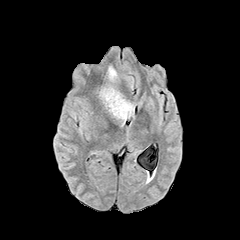
FLAIR MRI.
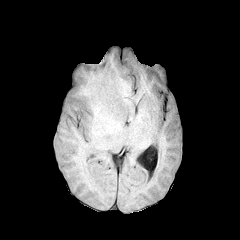
Same slice, T1-weighted MR image.
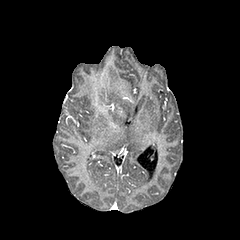
Post-contrast T1-weighted magnetic resonance.
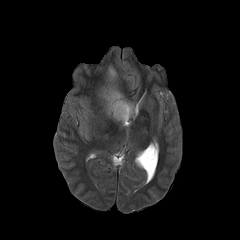
Same slice, T2-weighted MRI.
Image size 240x240
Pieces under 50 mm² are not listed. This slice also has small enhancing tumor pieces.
{"peritumoral_edema": ["x1=108 y1=66 x2=117 y2=81", "x1=100 y1=86 x2=133 y2=122"]}